Axial plane
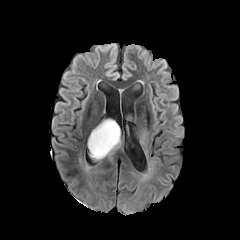
FLAIR magnetic resonance.
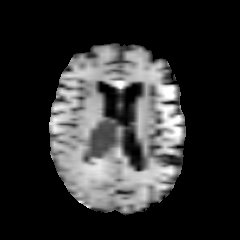
Same slice, T1-weighted magnetic resonance.
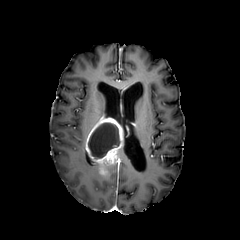
Post-contrast T1-weighted MR.
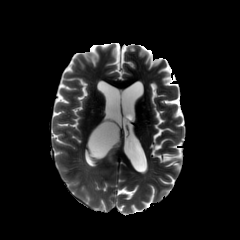
T2-weighted MR image.
necrotic tumor core = [x1=88, y1=123, x2=119, y2=158]
enhancing tumor = [x1=86, y1=117, x2=123, y2=173]